FLAIR MR image.
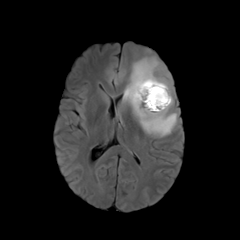
T1-weighted MRI.
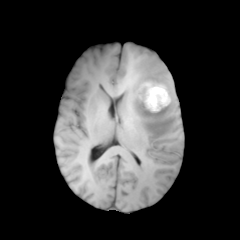
Post-contrast T1-weighted MR.
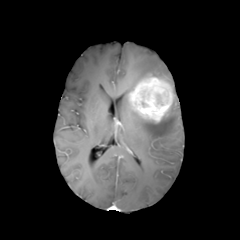
T2-weighted MR.
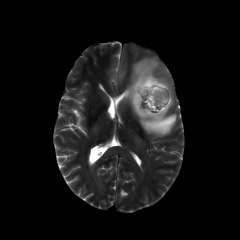
Axial slice.
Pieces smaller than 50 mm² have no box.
The enhancing tumor is bounded by (129,75,173,122). The largest peritumoral edema region is located at (123,57,177,137).